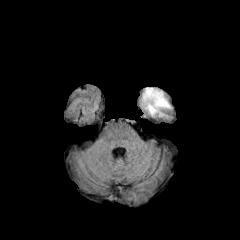
FLAIR MR.
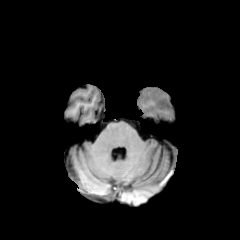
T1-weighted magnetic resonance.
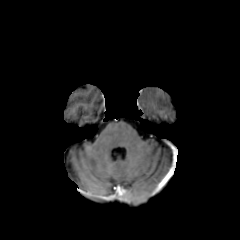
Post-contrast T1-weighted MR.
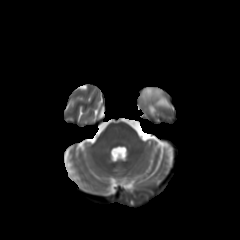
Same slice, T2-weighted MR.
Brain, Axial view
peritumoral edema: (left=139, top=88, right=172, bottom=120)